Brain, Slice 87 of 155
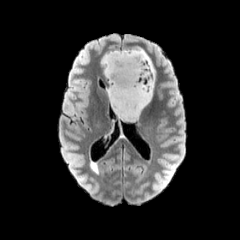
FLAIR magnetic resonance.
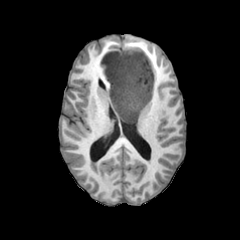
Same slice, T1-weighted MR image.
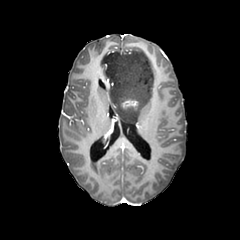
Post-contrast T1-weighted magnetic resonance.
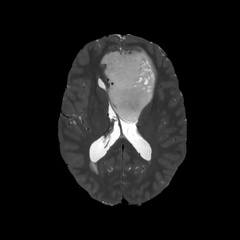
T2-weighted magnetic resonance.
The enhancing tumor is at region(121, 99, 138, 109). The peritumoral edema lies within region(102, 47, 154, 122).